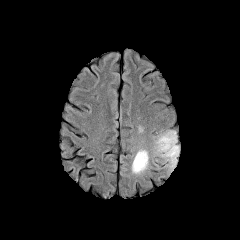
FLAIR MR.
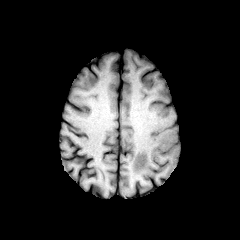
Same slice, T1-weighted MR image.
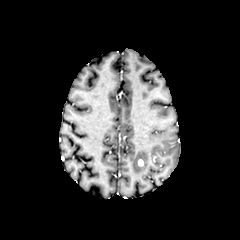
Post-contrast T1-weighted magnetic resonance of the same slice.
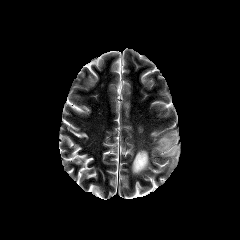
Same slice, T2-weighted magnetic resonance.
Brain.
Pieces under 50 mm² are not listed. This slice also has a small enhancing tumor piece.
The 2 largest peritumoral edema regions are bounded by 154:130:180:176, 131:149:149:174.